Brain; 240x240; Axial view
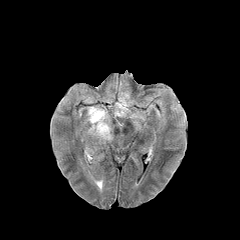
FLAIR MR.
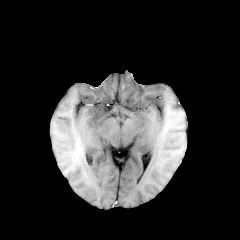
T1-weighted magnetic resonance of the same slice.
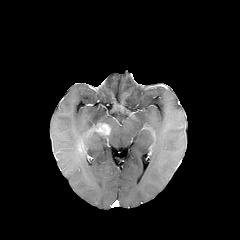
Post-contrast T1-weighted MR of the same slice.
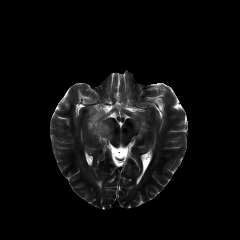
Same slice, T2-weighted MR.
enhancing_tumor:
  - left=90, top=123, right=110, bottom=135
peritumoral_edema:
  - left=88, top=107, right=111, bottom=139